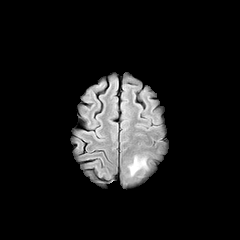
FLAIR magnetic resonance.
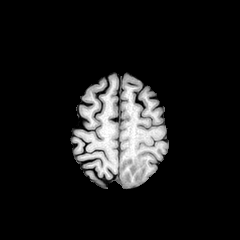
Same slice, T1-weighted MRI.
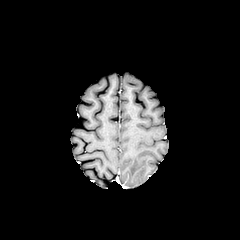
Same slice, post-contrast T1-weighted magnetic resonance.
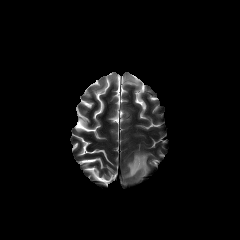
T2-weighted MR image of the same slice.
240x240 px. Axial plane. Head.
Findings:
* peritumoral edema: box(129, 156, 147, 175)